FLAIR magnetic resonance.
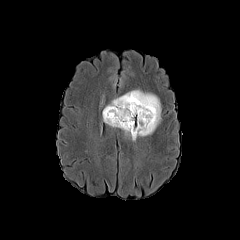
T1-weighted MR image.
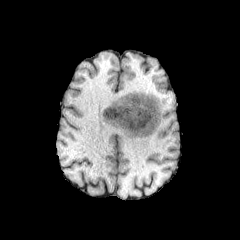
Post-contrast T1-weighted MR.
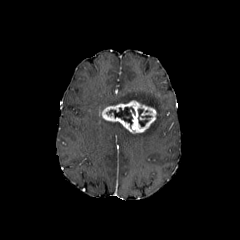
T2-weighted MRI.
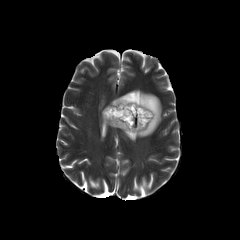
Axial slice.
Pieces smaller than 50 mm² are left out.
enhancing tumor — (102,100,156,133)
peritumoral edema — (103,90,161,140)
necrotic tumor core — (109,107,135,126), (138,117,148,126), (138,109,151,117)